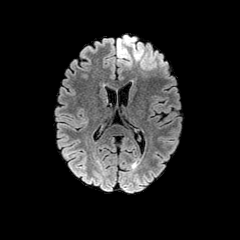
FLAIR MR.
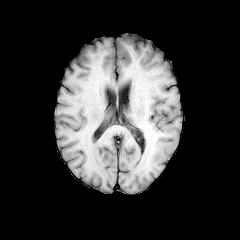
Same slice, T1-weighted MR.
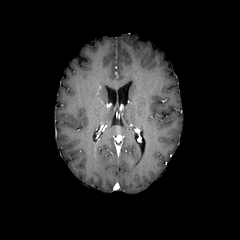
Post-contrast T1-weighted MRI.
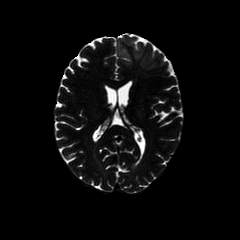
T2-weighted magnetic resonance of the same slice.
Head
peritumoral edema = [x1=117, y1=35, x2=143, y2=66]